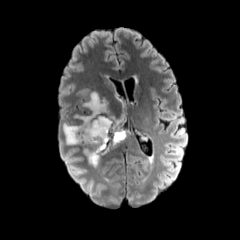
FLAIR MR image.
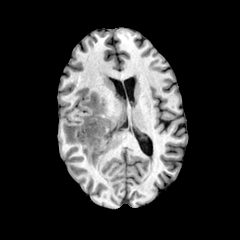
T1-weighted magnetic resonance of the same slice.
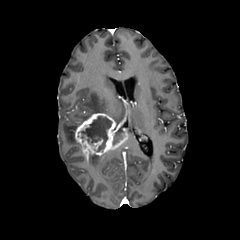
Post-contrast T1-weighted magnetic resonance.
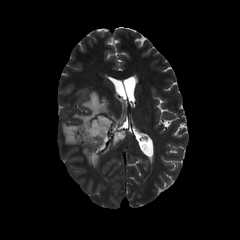
T2-weighted MR.
240x240 px. Head.
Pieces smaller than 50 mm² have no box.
peritumoral_edema:
  - (left=62, top=123, right=78, bottom=144)
  - (left=74, top=92, right=108, bottom=122)
  - (left=88, top=155, right=100, bottom=166)
necrotic_tumor_core:
  - (left=113, top=129, right=123, bottom=144)
  - (left=81, top=116, right=112, bottom=151)
enhancing_tumor:
  - (left=74, top=113, right=127, bottom=161)